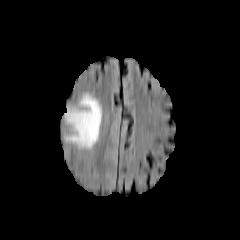
FLAIR magnetic resonance.
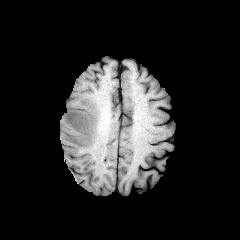
T1-weighted MR image.
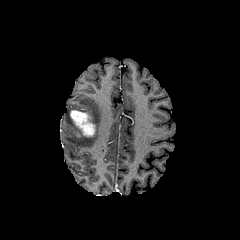
Same slice, post-contrast T1-weighted magnetic resonance.
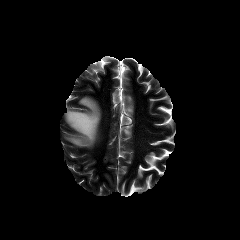
T2-weighted MR.
Axial slice, Head, 240x240
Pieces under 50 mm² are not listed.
<segmentation>
  <peritumoral_edema>64,94,101,148</peritumoral_edema>
  <enhancing_tumor>70,110,95,136</enhancing_tumor>
</segmentation>